Slice index 19, Head
FLAIR magnetic resonance.
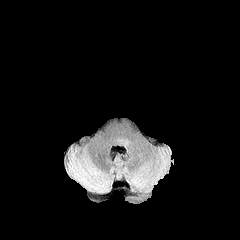
T1-weighted MR image.
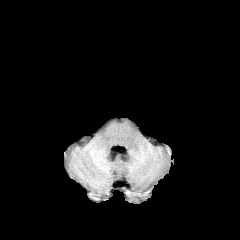
Post-contrast T1-weighted MR image.
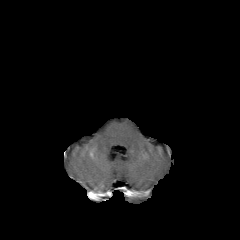
T2-weighted MRI.
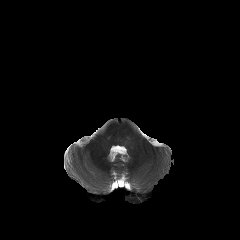
<segmentation>
  <peritumoral_edema>bbox(119, 139, 127, 145)</peritumoral_edema>
</segmentation>